FLAIR MR.
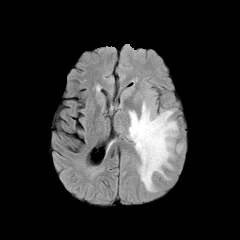
T1-weighted MRI.
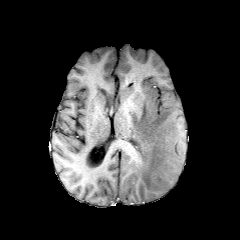
Post-contrast T1-weighted magnetic resonance.
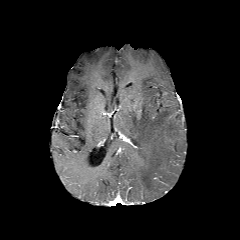
T2-weighted MR image.
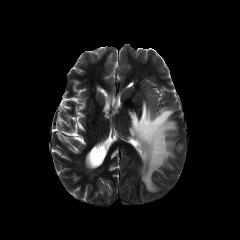
Brain
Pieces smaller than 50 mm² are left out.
peritumoral edema: <bbox>127, 101, 177, 192</bbox>